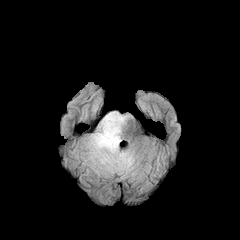
FLAIR MRI.
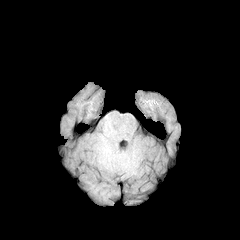
T1-weighted magnetic resonance.
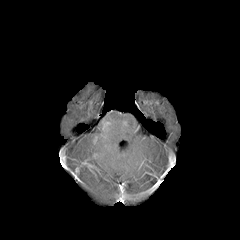
Post-contrast T1-weighted MRI of the same slice.
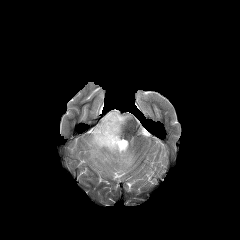
T2-weighted MR image of the same slice.
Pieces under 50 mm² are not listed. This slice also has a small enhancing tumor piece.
{
  "peritumoral_edema": [
    "84 111 134 174"
  ]
}